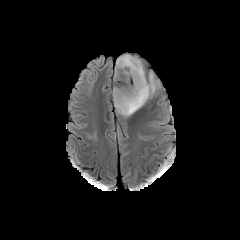
FLAIR MR image.
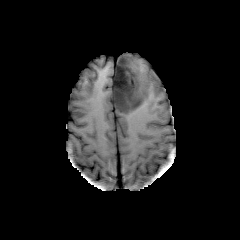
T1-weighted MRI.
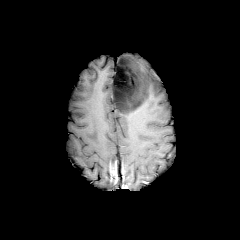
Post-contrast T1-weighted MR image.
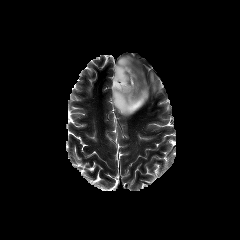
T2-weighted MR image.
240x240, Axial plane
peritumoral edema: bounding box <bbox>114, 99, 147, 116</bbox>, <bbox>116, 54, 145, 75</bbox>, <bbox>146, 72, 159, 96</bbox>
necrotic tumor core: bounding box <bbox>113, 57, 148, 111</bbox>